Image covers 240 mm x 240 mm, Slice 64/155, Axial slice
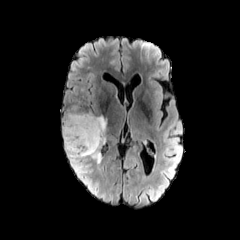
FLAIR magnetic resonance.
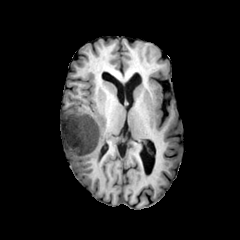
Same slice, T1-weighted MR image.
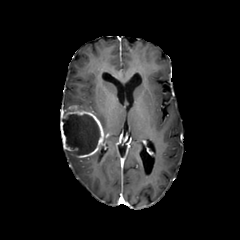
Post-contrast T1-weighted MR image of the same slice.
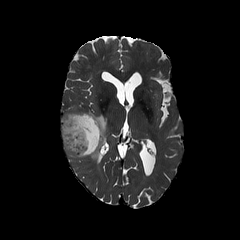
T2-weighted MRI of the same slice.
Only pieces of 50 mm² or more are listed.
Annotated regions:
• peritumoral edema: bbox=[90, 149, 102, 163]; bbox=[65, 150, 87, 168]; bbox=[96, 114, 107, 134]
• enhancing tumor: bbox=[61, 105, 106, 157]
• necrotic tumor core: bbox=[62, 113, 100, 155]